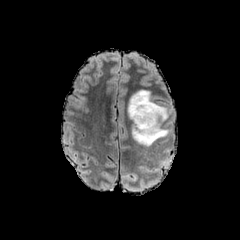
FLAIR magnetic resonance.
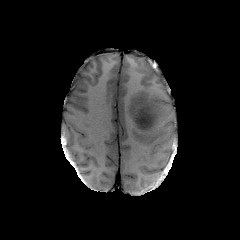
T1-weighted magnetic resonance.
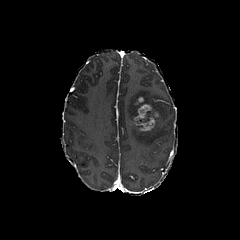
Same slice, post-contrast T1-weighted MR.
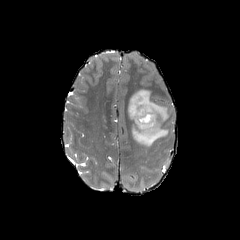
Same slice, T2-weighted MRI.
Axial plane
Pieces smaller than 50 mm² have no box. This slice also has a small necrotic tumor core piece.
peritumoral edema: bounding box (left=128, top=90, right=167, bottom=146)
enhancing tumor: bounding box (left=134, top=96, right=158, bottom=131)